FLAIR magnetic resonance.
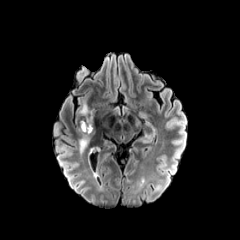
T1-weighted MR.
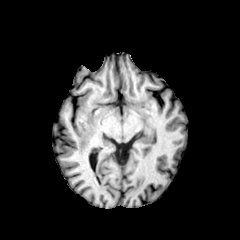
Post-contrast T1-weighted magnetic resonance.
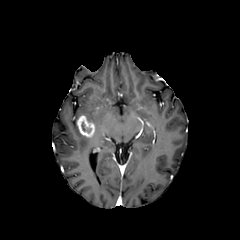
T2-weighted MR.
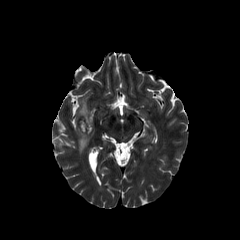
Axial slice
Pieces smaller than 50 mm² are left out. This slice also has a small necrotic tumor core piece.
<segmentation>
  <enhancing_tumor>box=[77, 115, 95, 138]</enhancing_tumor>
  <peritumoral_edema>box=[79, 135, 89, 152]; box=[80, 101, 94, 121]</peritumoral_edema>
</segmentation>